Slice index 106
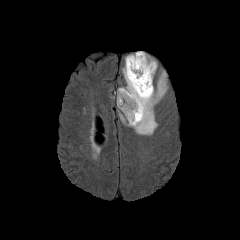
FLAIR magnetic resonance.
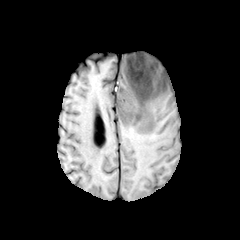
T1-weighted MRI of the same slice.
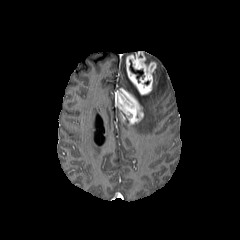
Post-contrast T1-weighted MRI of the same slice.
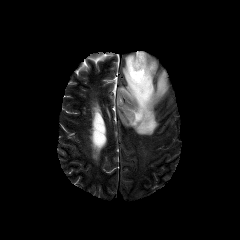
T2-weighted MR.
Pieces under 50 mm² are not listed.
peritumoral edema: bounding box (144, 53, 155, 62), (121, 58, 168, 135)
necrotic tumor core: bounding box (129, 60, 144, 82)
enhancing tumor: bounding box (115, 88, 143, 124), (126, 51, 156, 95)